Head; Slice 76 of 155; 240x240 px
FLAIR MR.
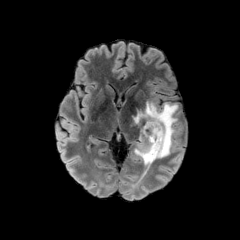
T1-weighted MRI.
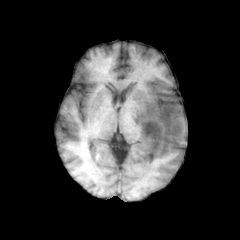
Post-contrast T1-weighted MR image.
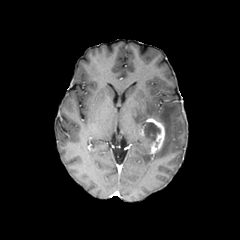
T2-weighted MRI.
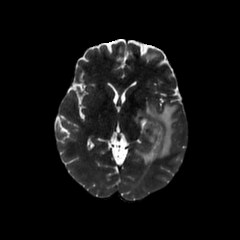
The peritumoral edema appears at rect(134, 102, 177, 163). The enhancing tumor is located at rect(140, 117, 165, 154). The necrotic tumor core appears at rect(144, 122, 160, 142).